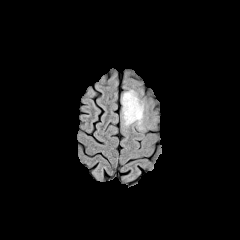
FLAIR MRI.
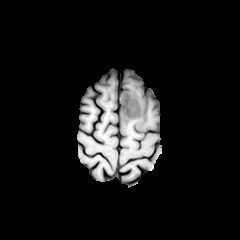
T1-weighted MR image.
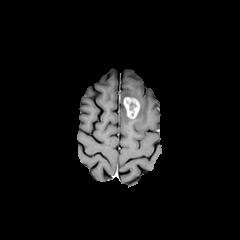
Same slice, post-contrast T1-weighted MR.
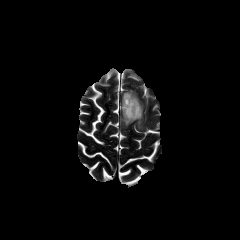
T2-weighted MR of the same slice.
Axial slice. Brain.
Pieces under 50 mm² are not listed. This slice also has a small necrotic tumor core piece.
{
  "peritumoral_edema": [
    "region(121, 89, 144, 129)"
  ],
  "enhancing_tumor": [
    "region(123, 96, 139, 118)"
  ]
}